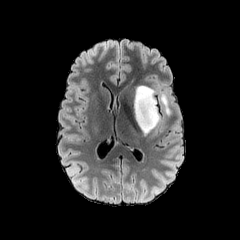
FLAIR magnetic resonance.
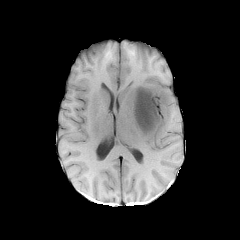
T1-weighted magnetic resonance.
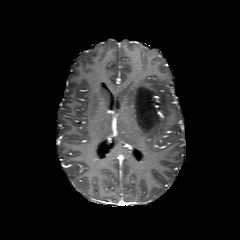
Post-contrast T1-weighted MR image.
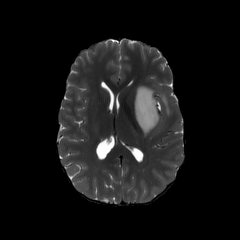
T2-weighted MRI of the same slice.
240x240 px. Head.
peritumoral edema: 134:85:160:135, 160:92:170:115